FLAIR MRI.
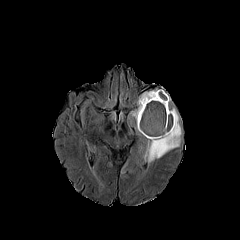
T1-weighted MRI.
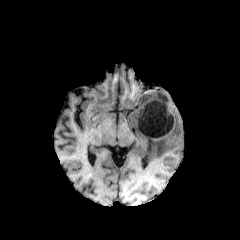
Post-contrast T1-weighted MR.
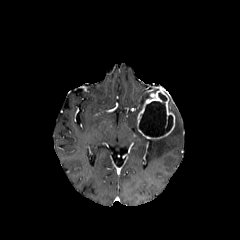
T2-weighted MR image.
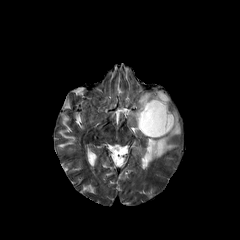
240x240.
The enhancing tumor appears at l=137, t=89, r=174, b=139. 2 peritumoral edema regions appear at l=128, t=91, r=156, b=126; l=146, t=107, r=181, b=163. 2 necrotic tumor core regions appear at l=158, t=93, r=167, b=101; l=139, t=101, r=173, b=137.